FLAIR MRI.
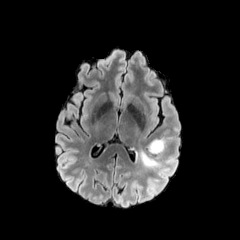
T1-weighted MRI.
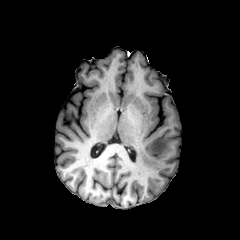
Post-contrast T1-weighted MRI.
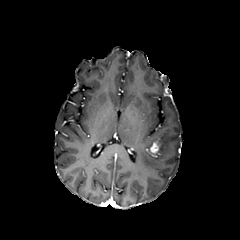
T2-weighted MR.
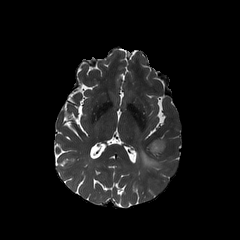
Head | Axial slice
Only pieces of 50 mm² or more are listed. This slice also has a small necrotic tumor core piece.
peritumoral edema = (left=148, top=139, right=165, bottom=154), (left=139, top=150, right=159, bottom=167)
enhancing tumor = (left=150, top=142, right=160, bottom=153)